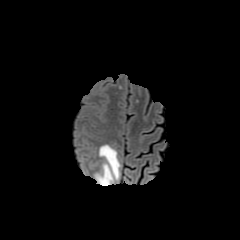
FLAIR magnetic resonance.
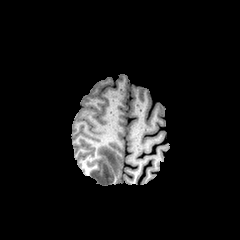
T1-weighted MR image.
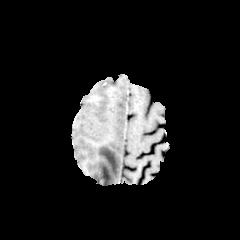
Post-contrast T1-weighted MR.
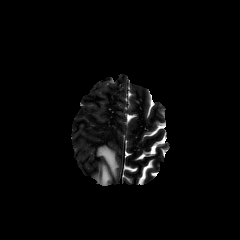
T2-weighted MRI.
Annotated regions:
• peritumoral edema: bbox(94, 145, 120, 185)